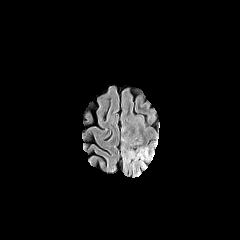
FLAIR magnetic resonance.
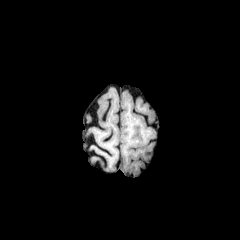
T1-weighted MRI.
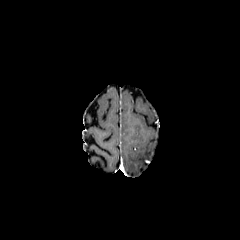
Same slice, post-contrast T1-weighted MR image.
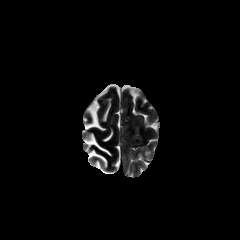
Same slice, T2-weighted MR image.
240x240 | Axial plane
The peritumoral edema is located at bbox(122, 142, 156, 177).